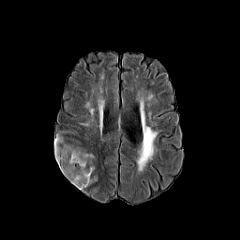
FLAIR MR image.
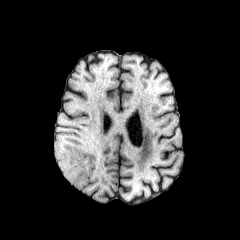
T1-weighted magnetic resonance of the same slice.
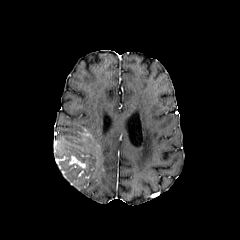
Post-contrast T1-weighted MR.
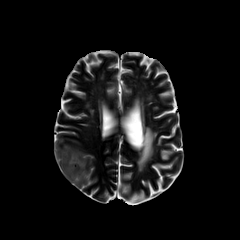
T2-weighted MR image.
Axial plane. Head. 240x240.
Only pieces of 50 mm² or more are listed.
The largest enhancing tumor region is located at [69, 156, 85, 168]. The largest peritumoral edema region is at [54, 132, 95, 189].